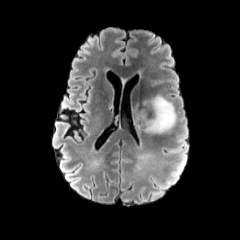
FLAIR MR.
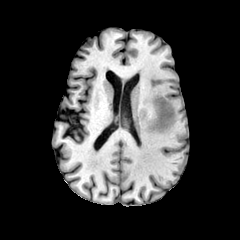
Same slice, T1-weighted MRI.
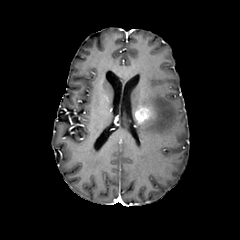
Same slice, post-contrast T1-weighted MR.
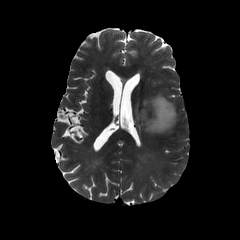
T2-weighted MR image.
Brain
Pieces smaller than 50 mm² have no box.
{"peritumoral_edema": ["l=141, t=93, r=176, b=133"], "enhancing_tumor": ["l=134, t=107, r=150, b=123"]}